FLAIR MR image.
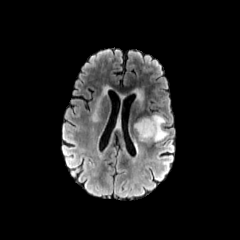
T1-weighted magnetic resonance.
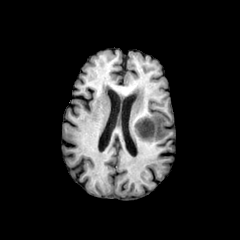
Post-contrast T1-weighted MRI.
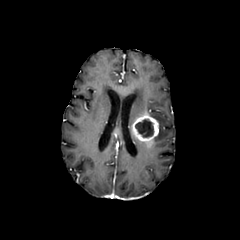
T2-weighted MRI.
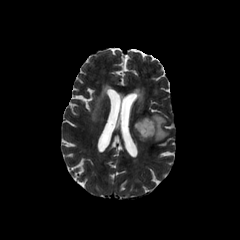
Brain, Axial plane
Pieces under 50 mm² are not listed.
enhancing tumor — region(131, 113, 158, 147)
peritumoral edema — region(151, 113, 168, 141)
necrotic tumor core — region(135, 119, 153, 137)